FLAIR magnetic resonance.
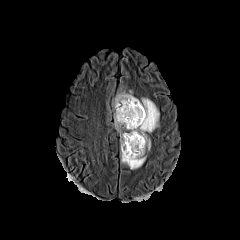
T1-weighted magnetic resonance.
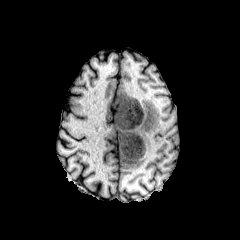
Post-contrast T1-weighted MR.
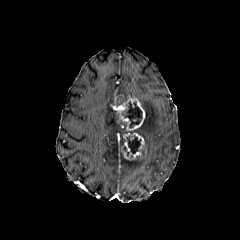
T2-weighted MR image.
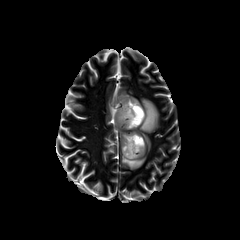
Head, 240x240
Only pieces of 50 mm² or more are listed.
enhancing tumor — l=114, t=95, r=145, b=160
necrotic tumor core — l=127, t=136, r=140, b=153; l=122, t=101, r=142, b=127
peritumoral edema — l=117, t=90, r=133, b=98; l=114, t=114, r=127, b=145; l=121, t=151, r=146, b=169; l=134, t=98, r=159, b=151